FLAIR magnetic resonance.
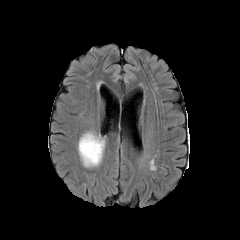
T1-weighted MR.
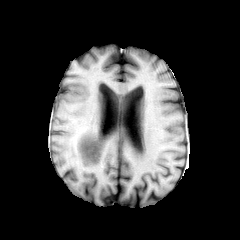
Post-contrast T1-weighted MR image.
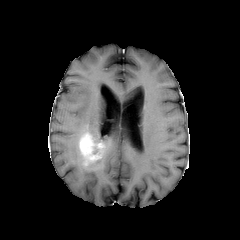
T2-weighted MR image.
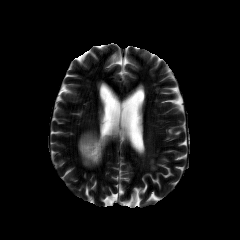
Axial view.
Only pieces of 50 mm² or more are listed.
The 2 largest peritumoral edema regions are bounded by 78 142 102 167, 82 131 105 146. The enhancing tumor is at 79 133 104 165.